FLAIR MR image.
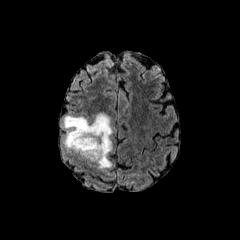
T1-weighted magnetic resonance.
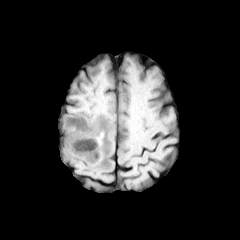
Post-contrast T1-weighted MRI.
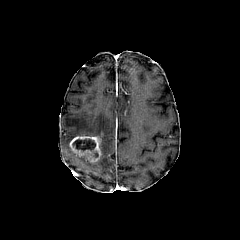
T2-weighted magnetic resonance.
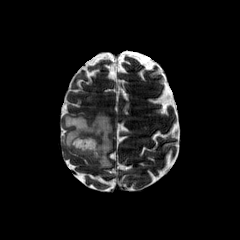
Head; Axial plane
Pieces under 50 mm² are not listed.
{"enhancing_tumor": ["rect(69, 134, 101, 162)"], "necrotic_tumor_core": ["rect(72, 139, 95, 150)"], "peritumoral_edema": ["rect(64, 113, 112, 169)"]}